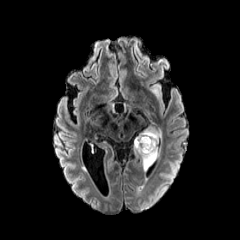
FLAIR MR image.
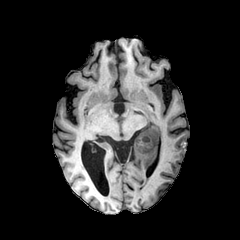
T1-weighted MR.
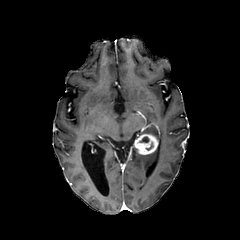
Post-contrast T1-weighted MR.
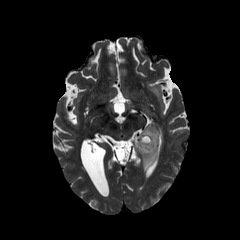
T2-weighted MRI of the same slice.
240x240 px
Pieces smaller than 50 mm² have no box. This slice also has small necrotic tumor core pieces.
enhancing tumor = box(134, 133, 158, 154)
peritumoral edema = box(139, 127, 162, 141); box(134, 147, 160, 170)